Head
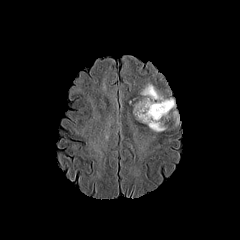
FLAIR MR.
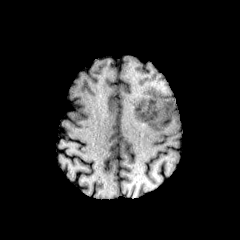
T1-weighted MRI.
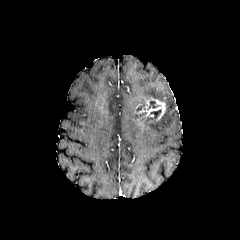
Post-contrast T1-weighted MR of the same slice.
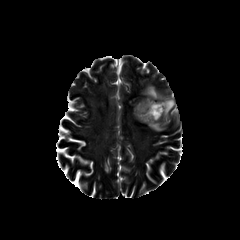
Same slice, T2-weighted MRI.
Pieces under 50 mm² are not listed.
<segmentation>
  <peritumoral_edema>[133, 84, 175, 131]</peritumoral_edema>
  <necrotic_tumor_core>[150, 110, 161, 118]</necrotic_tumor_core>
  <enhancing_tumor>[137, 97, 166, 122]</enhancing_tumor>
</segmentation>